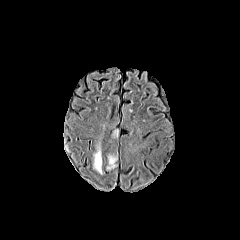
FLAIR MRI.
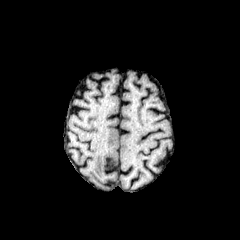
T1-weighted magnetic resonance of the same slice.
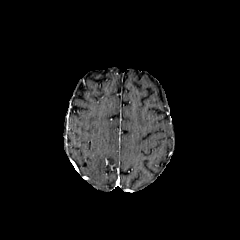
Post-contrast T1-weighted MR image.
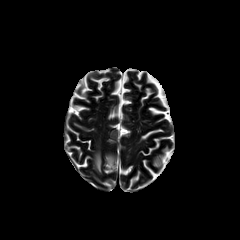
T2-weighted MR.
Axial plane.
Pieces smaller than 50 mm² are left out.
<segmentation>
  <peritumoral_edema>[x1=108, y1=155, x2=116, y2=164], [x1=94, y1=146, x2=101, y2=173]</peritumoral_edema>
</segmentation>